Axial view; Brain; Image width 240 mm; Image size 240x240
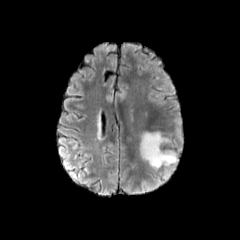
FLAIR MR image.
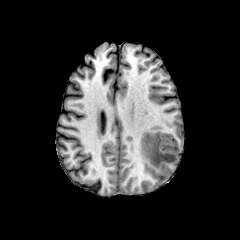
T1-weighted MR.
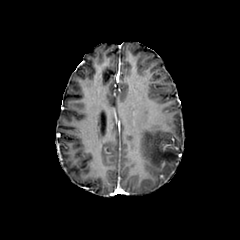
Same slice, post-contrast T1-weighted magnetic resonance.
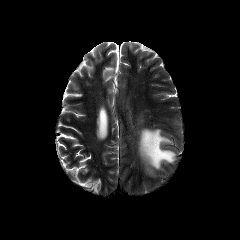
T2-weighted MRI.
peritumoral edema at 140,132,176,168